FLAIR MR image.
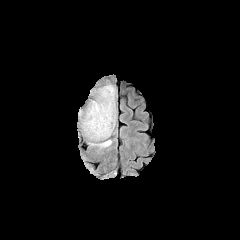
T1-weighted MR image.
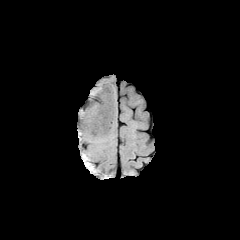
Post-contrast T1-weighted MR.
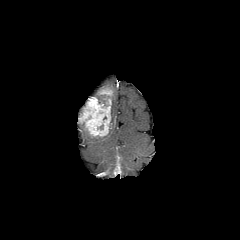
T2-weighted MR image.
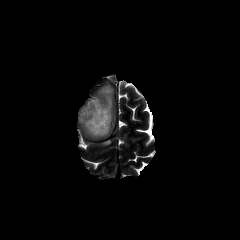
240x240 px | Axial slice
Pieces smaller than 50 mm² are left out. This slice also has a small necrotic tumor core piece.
peritumoral edema: bounding box 77,84,114,139; 98,140,111,146
enhancing tumor: bounding box 78,86,113,137